FLAIR MR.
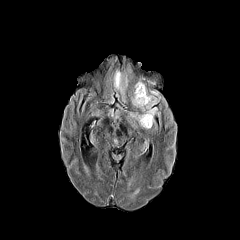
T1-weighted MR image.
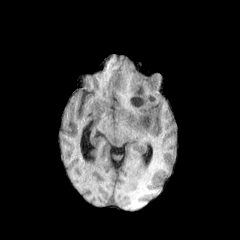
Post-contrast T1-weighted magnetic resonance.
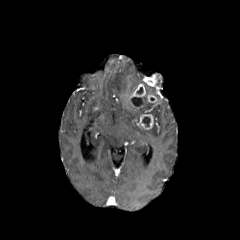
T2-weighted MRI.
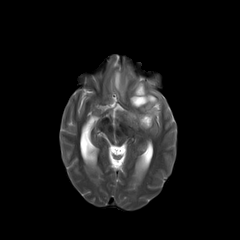
Brain
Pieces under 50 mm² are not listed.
The 2 largest necrotic tumor core regions are located at 142:117:150:126, 131:97:143:106. The 3 largest enhancing tumor regions are bounded by 138:114:153:129, 130:83:145:98, 142:75:156:86. The 4 largest peritumoral edema regions appear at 129:112:139:119, 146:107:159:115, 141:86:156:111, 113:69:127:101.